Axial plane, 240x240, Brain
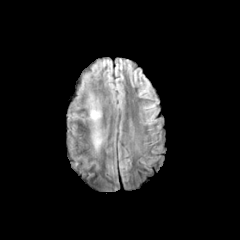
FLAIR MRI.
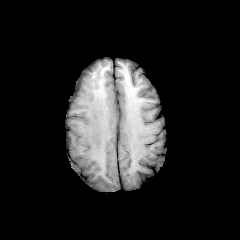
T1-weighted MR image of the same slice.
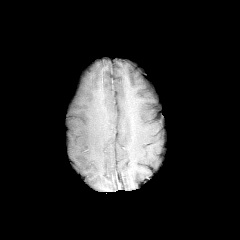
Post-contrast T1-weighted MRI of the same slice.
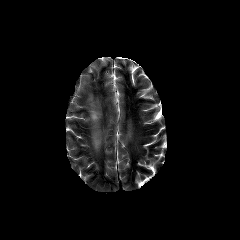
T2-weighted MRI.
<segmentation>
  <peritumoral_edema>(left=94, top=132, right=100, bottom=147), (left=90, top=109, right=100, bottom=121)</peritumoral_edema>
</segmentation>